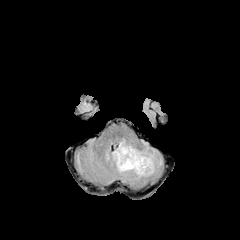
FLAIR MR.
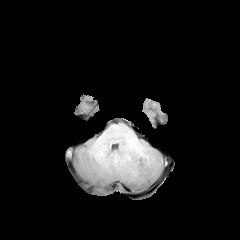
Same slice, T1-weighted MR.
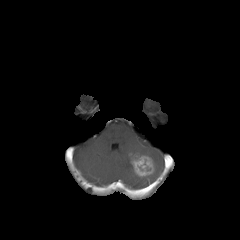
Same slice, post-contrast T1-weighted MR.
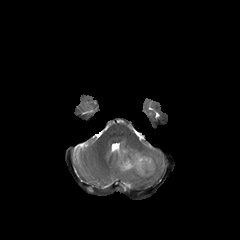
Same slice, T2-weighted magnetic resonance.
Head
Segmented structures:
* enhancing tumor: (x1=130, y1=153, x2=154, y2=176)
* peritumoral edema: (x1=111, y1=140, x2=162, y2=183)